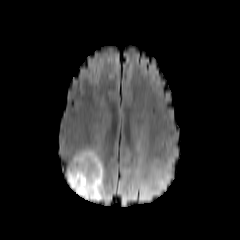
FLAIR MR image.
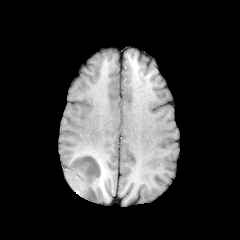
Same slice, T1-weighted MR image.
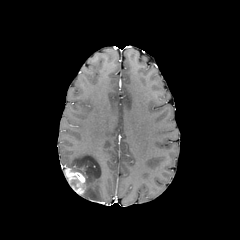
Post-contrast T1-weighted magnetic resonance.
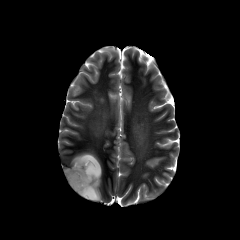
T2-weighted MR.
Axial plane, Image size 240x240
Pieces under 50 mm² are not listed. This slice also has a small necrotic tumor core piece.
The peritumoral edema appears at (x1=69, y1=150, x2=105, y2=200). The largest enhancing tumor region is at (x1=64, y1=168, x2=86, y2=195).